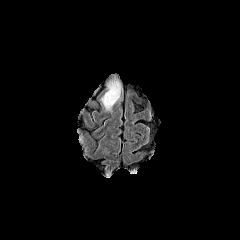
FLAIR magnetic resonance.
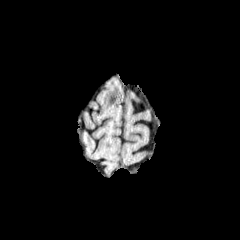
Same slice, T1-weighted MR image.
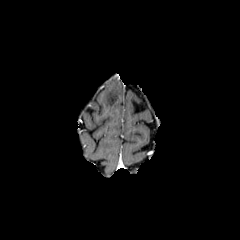
Same slice, post-contrast T1-weighted MR image.
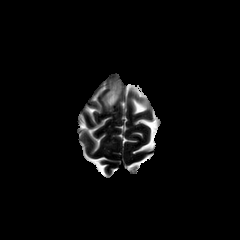
T2-weighted MRI.
Brain | 240x240 | Axial plane
peritumoral_edema:
  - <box>101,80,121,110</box>